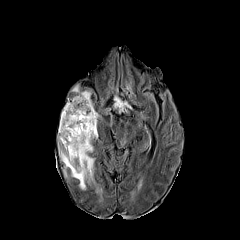
FLAIR MR.
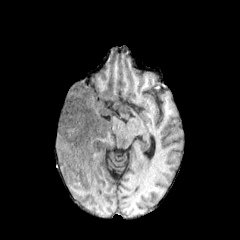
T1-weighted MRI.
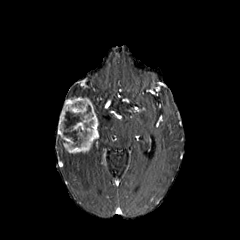
Post-contrast T1-weighted MR image.
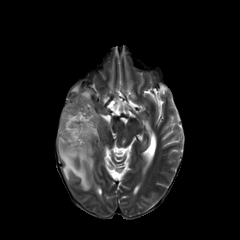
T2-weighted MR.
Brain
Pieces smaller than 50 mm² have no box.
Annotated regions:
• peritumoral edema: 58 135 94 189, 72 85 91 101
• necrotic tumor core: 63 111 83 146
• enhancing tumor: 58 97 98 153